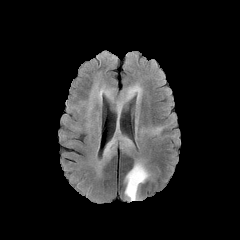
FLAIR magnetic resonance.
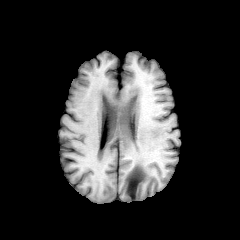
T1-weighted MRI of the same slice.
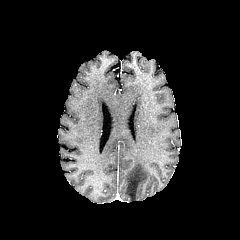
Post-contrast T1-weighted magnetic resonance of the same slice.
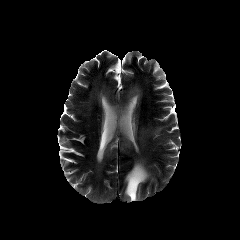
T2-weighted magnetic resonance.
Head
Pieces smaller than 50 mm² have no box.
The 4 largest peritumoral edema regions are bounded by box=[103, 100, 133, 159]; box=[124, 160, 150, 201]; box=[151, 127, 162, 134]; box=[124, 84, 141, 104].